FLAIR MRI.
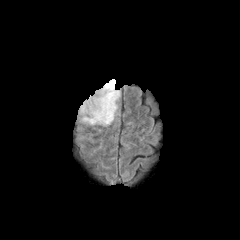
T1-weighted magnetic resonance.
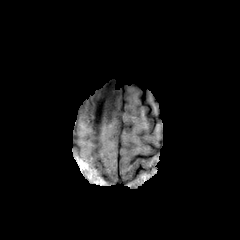
Post-contrast T1-weighted magnetic resonance.
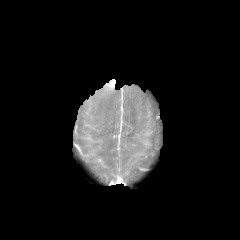
T2-weighted MR image.
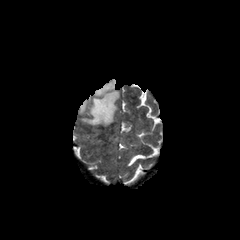
Axial view
Findings:
• peritumoral edema: x1=79, y1=84, x2=119, y2=126
• enhancing tumor: x1=106, y1=80, x2=115, y2=88